Slice 97 of 155. Axial plane. Image width 240 mm, 1.00 mm slice spacing.
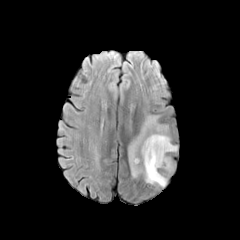
FLAIR MRI.
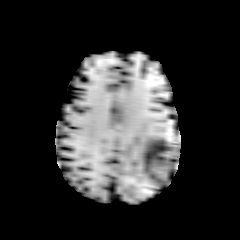
T1-weighted MRI.
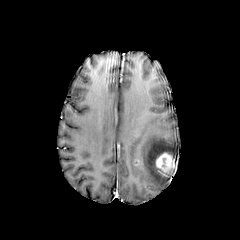
Post-contrast T1-weighted MR of the same slice.
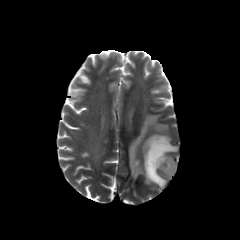
T2-weighted MR image.
Findings:
- enhancing tumor: box=[156, 153, 174, 176]
- peritumoral edema: box=[128, 115, 177, 187]